FLAIR magnetic resonance.
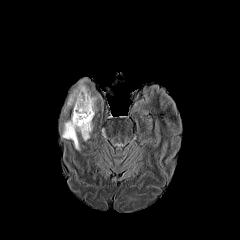
T1-weighted magnetic resonance.
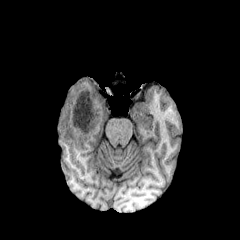
Post-contrast T1-weighted magnetic resonance.
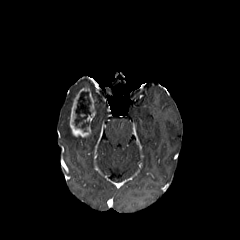
T2-weighted MR.
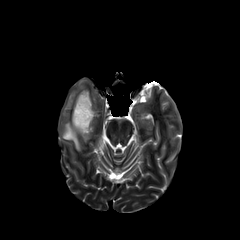
Image size 240x240
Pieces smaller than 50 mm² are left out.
The largest necrotic tumor core region lies within x1=74, y1=91, x2=91, y2=128. The 3 largest peritumoral edema regions are located at x1=63, y1=78, x2=87, y2=115; x1=91, y1=89, x2=99, y2=112; x1=62, y1=121, x2=80, y2=150. The largest enhancing tumor region appears at x1=69, y1=87, x2=96, y2=137.